Brain. Slice 103/155.
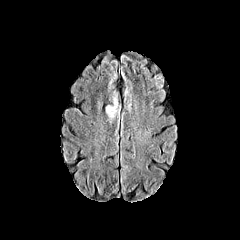
FLAIR magnetic resonance.
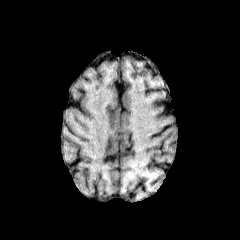
Same slice, T1-weighted MR image.
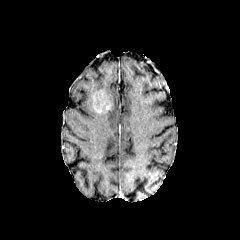
Post-contrast T1-weighted MRI of the same slice.
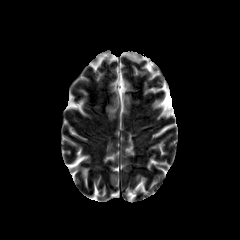
Same slice, T2-weighted MR.
peritumoral edema = left=106, top=97, right=118, bottom=120